FLAIR MR.
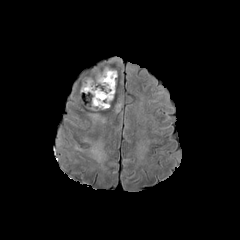
T1-weighted MR.
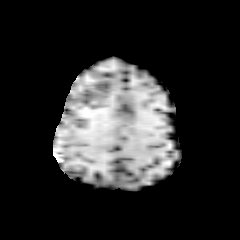
Post-contrast T1-weighted MR.
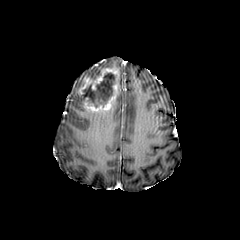
T2-weighted magnetic resonance.
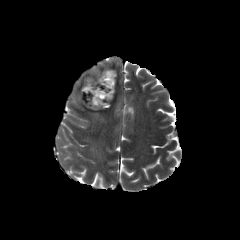
Brain, 240x240 px
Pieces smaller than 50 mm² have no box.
peritumoral edema = left=91, top=147, right=100, bottom=158
enhancing tumor = left=79, top=68, right=119, bottom=111
necrotic tumor core = left=84, top=73, right=115, bottom=107